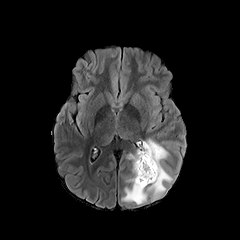
FLAIR MRI.
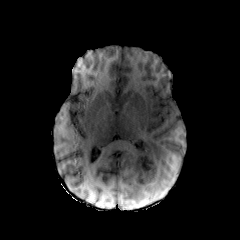
T1-weighted MR.
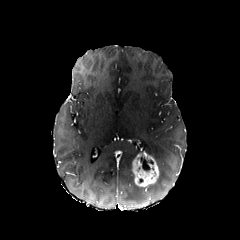
Post-contrast T1-weighted MR image.
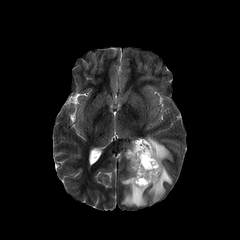
T2-weighted MRI.
Brain
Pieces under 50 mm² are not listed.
The largest necrotic tumor core region is bounded by (140, 157, 153, 170). 2 peritumoral edema regions are bounded by (125, 149, 142, 160), (120, 138, 172, 205). The enhancing tumor is bounded by (132, 151, 159, 186).